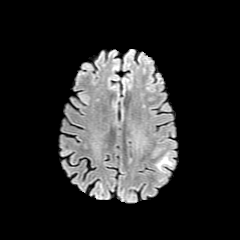
FLAIR MR image.
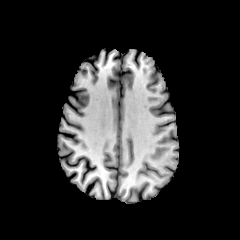
Same slice, T1-weighted magnetic resonance.
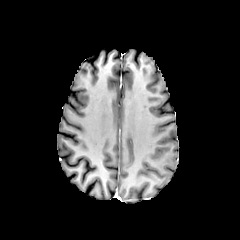
Post-contrast T1-weighted MRI of the same slice.
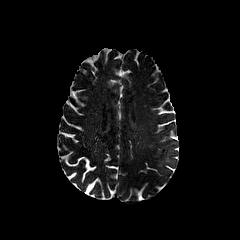
T2-weighted magnetic resonance.
240x240 px | Brain | Axial slice
{
  "peritumoral_edema": [
    "(157, 157, 170, 167)"
  ]
}